Image width 240 mm, 1.00 mm slice spacing, 240x240 px, Slice 76 of 155
FLAIR magnetic resonance.
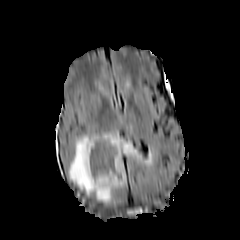
T1-weighted MRI.
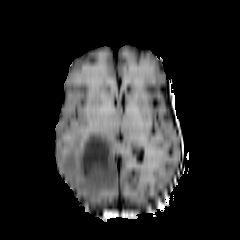
Post-contrast T1-weighted magnetic resonance.
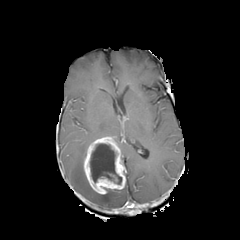
T2-weighted MR image.
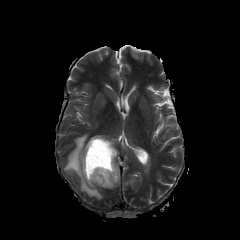
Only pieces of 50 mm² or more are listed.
enhancing tumor: region(83, 136, 125, 194) | peritumoral edema: region(68, 133, 138, 202) | necrotic tumor core: region(90, 143, 121, 184)